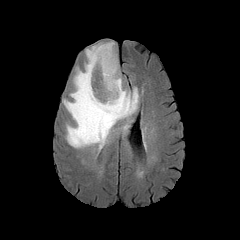
FLAIR MR image.
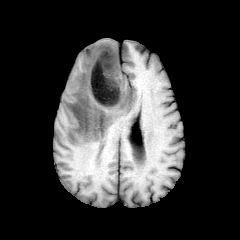
T1-weighted magnetic resonance of the same slice.
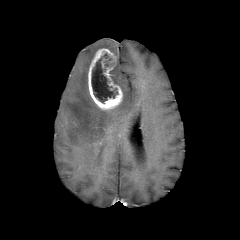
Post-contrast T1-weighted MR image of the same slice.
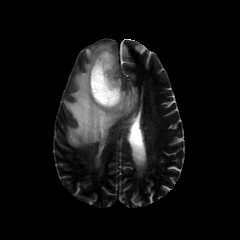
T2-weighted magnetic resonance.
Head
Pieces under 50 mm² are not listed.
peritumoral edema: box=[63, 41, 138, 150]
necrotic tumor core: box=[91, 53, 117, 102]
enhancing tumor: box=[88, 48, 122, 109]